FLAIR MRI.
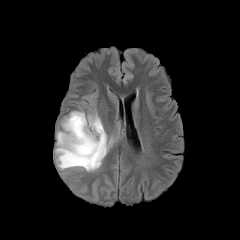
T1-weighted MRI.
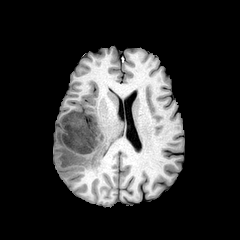
Post-contrast T1-weighted MRI.
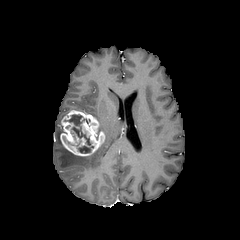
T2-weighted magnetic resonance.
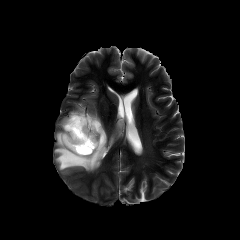
Image size 240x240
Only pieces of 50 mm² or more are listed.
peritumoral edema: [54,113,112,171] | enhancing tumor: [60,110,105,156] | necrotic tumor core: [68,114,93,153]